FLAIR MR image.
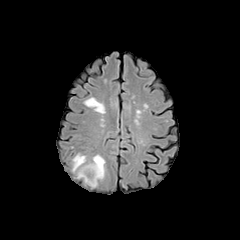
T1-weighted magnetic resonance.
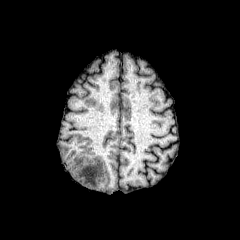
Post-contrast T1-weighted magnetic resonance.
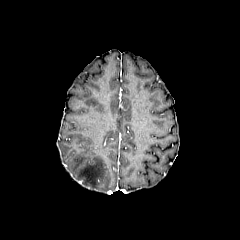
T2-weighted MR image.
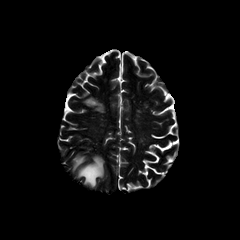
Axial slice; Head
peritumoral_edema:
  - (x1=72, y1=153, x2=104, y2=187)